FLAIR MR.
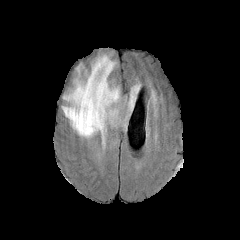
T1-weighted MR image.
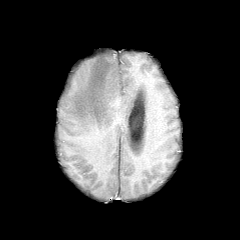
Post-contrast T1-weighted MR.
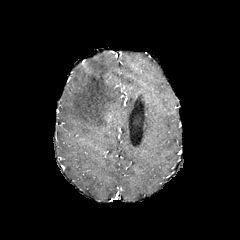
T2-weighted MR image.
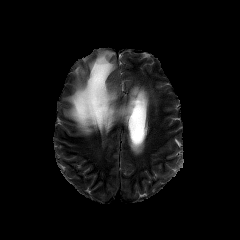
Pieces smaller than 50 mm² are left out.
The largest peritumoral edema region lies within (62,54,140,143).